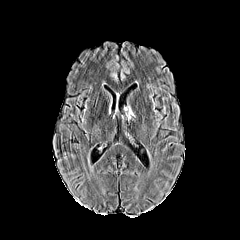
FLAIR MR image.
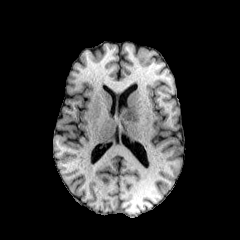
T1-weighted MRI of the same slice.
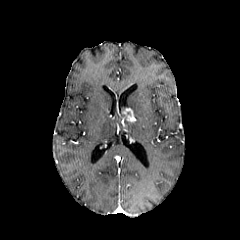
Post-contrast T1-weighted MR image of the same slice.
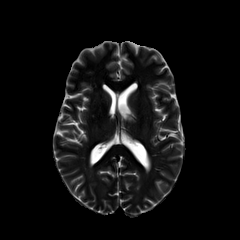
T2-weighted MR image of the same slice.
Head
enhancing tumor: x1=122 y1=107 x2=135 y2=122